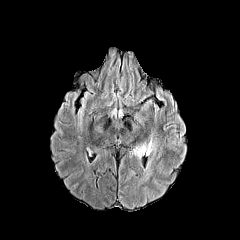
FLAIR magnetic resonance.
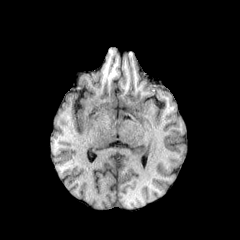
Same slice, T1-weighted magnetic resonance.
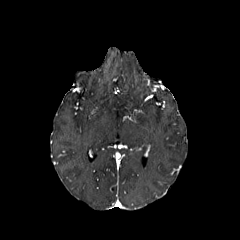
Post-contrast T1-weighted MR.
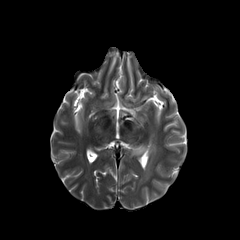
T2-weighted MRI.
Brain
The peritumoral edema appears at <bbox>132, 137, 155, 158</bbox>.